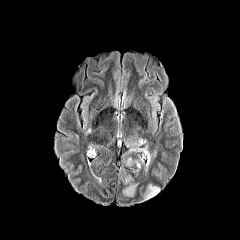
FLAIR MR.
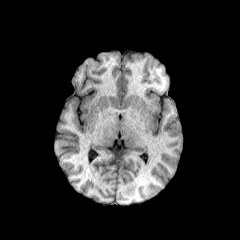
Same slice, T1-weighted MRI.
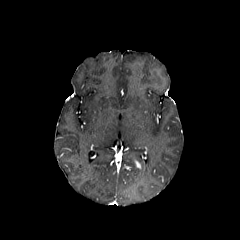
Same slice, post-contrast T1-weighted MRI.
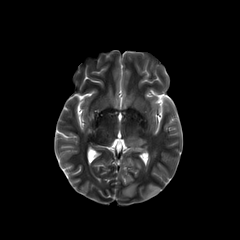
T2-weighted MR image.
Brain
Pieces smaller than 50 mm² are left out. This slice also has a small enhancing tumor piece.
peritumoral_edema:
  - bbox=[123, 184, 136, 196]
  - bbox=[125, 137, 145, 151]
  - bbox=[146, 184, 159, 197]